FLAIR MR.
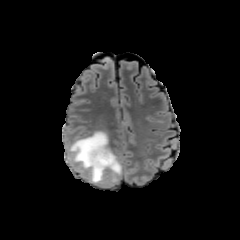
T1-weighted MR.
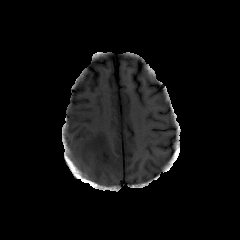
Post-contrast T1-weighted MR.
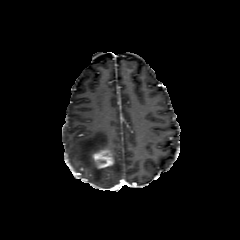
T2-weighted magnetic resonance.
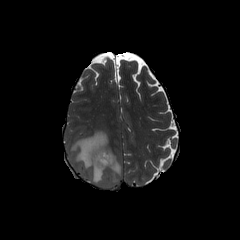
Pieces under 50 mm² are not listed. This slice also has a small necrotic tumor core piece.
peritumoral edema at 69, 131, 121, 185
enhancing tumor at 91, 148, 114, 168